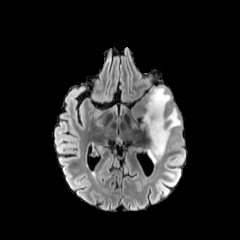
FLAIR MR image.
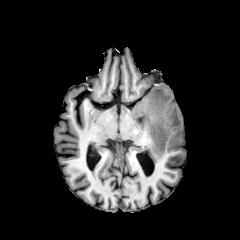
T1-weighted MR.
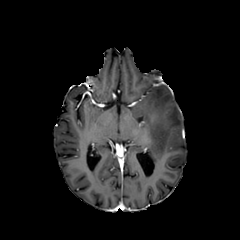
Post-contrast T1-weighted magnetic resonance of the same slice.
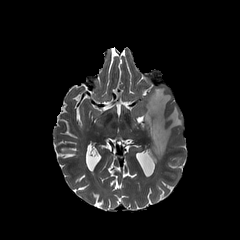
T2-weighted MR image.
240x240; Brain; Axial slice
<segmentation>
  <peritumoral_edema>140 86 181 161</peritumoral_edema>
</segmentation>